Image size 240x240, Brain, Axial plane, Slice index 57
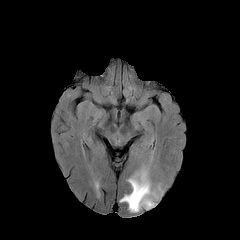
FLAIR MR.
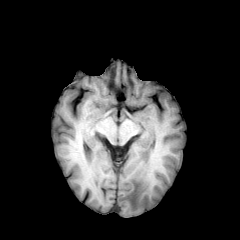
T1-weighted MR.
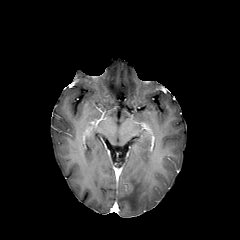
Post-contrast T1-weighted magnetic resonance.
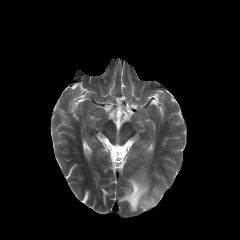
T2-weighted MR image.
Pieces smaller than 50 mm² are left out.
peritumoral edema: [120, 169, 158, 212]